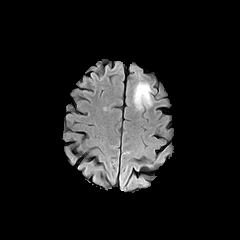
FLAIR MR.
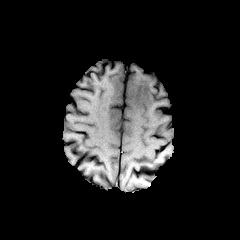
T1-weighted MR of the same slice.
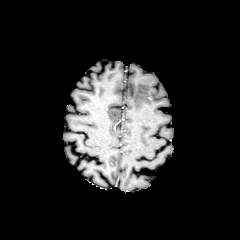
Post-contrast T1-weighted MRI.
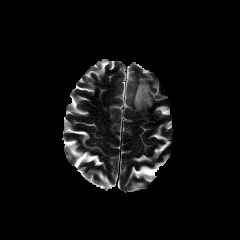
T2-weighted MRI of the same slice.
Axial plane. Image size 240x240. Brain.
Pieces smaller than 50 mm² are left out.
peritumoral edema at <bbox>133, 78, 152, 110</bbox>